Image covers 240 mm x 240 mm
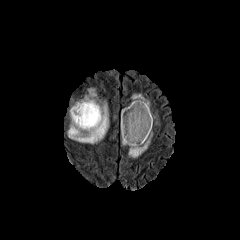
FLAIR magnetic resonance.
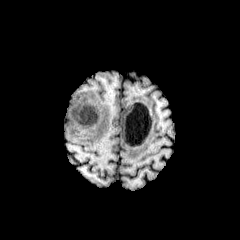
Same slice, T1-weighted MRI.
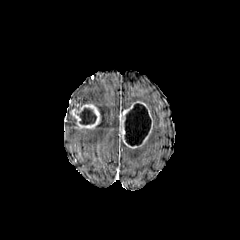
Post-contrast T1-weighted MRI.
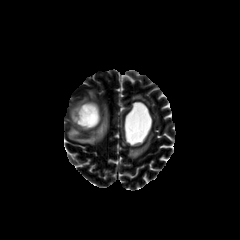
T2-weighted MR.
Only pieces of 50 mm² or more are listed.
necrotic_tumor_core:
  - l=124, t=103, r=151, b=145
  - l=78, t=108, r=96, b=124
peritumoral_edema:
  - l=68, t=89, r=108, b=144
  - l=131, t=94, r=149, b=108
  - l=128, t=132, r=152, b=158
enhancing_tumor:
  - l=70, t=103, r=100, b=129
  - l=120, t=101, r=153, b=148